Brain; Slice 56 of 155; 240x240; Axial plane
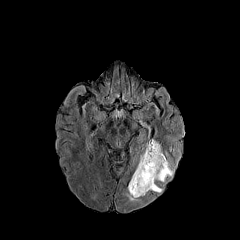
FLAIR MR.
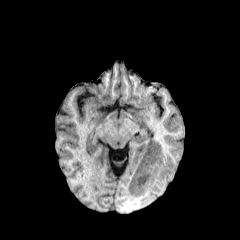
Same slice, T1-weighted MR.
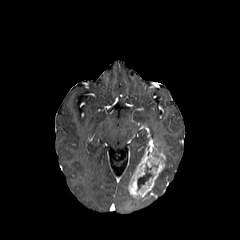
Post-contrast T1-weighted magnetic resonance.
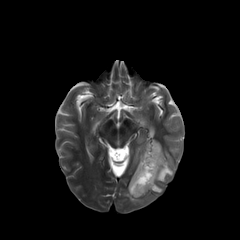
T2-weighted MR image.
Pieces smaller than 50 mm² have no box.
{
  "peritumoral_edema": [
    {"x1": 156, "y1": 159, "x2": 173, "y2": 182},
    {"x1": 152, "y1": 184, "x2": 162, "y2": 192},
    {"x1": 126, "y1": 193, "x2": 139, "y2": 201}
  ],
  "necrotic_tumor_core": [
    {"x1": 137, "y1": 164, "x2": 152, "y2": 189}
  ],
  "enhancing_tumor": [
    {"x1": 128, "y1": 139, "x2": 165, "y2": 198}
  ]
}